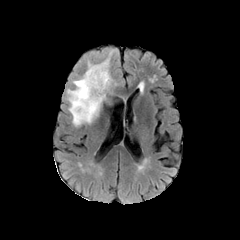
FLAIR MR.
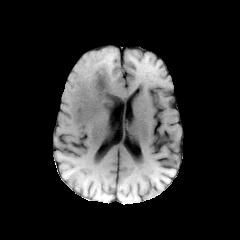
T1-weighted MRI of the same slice.
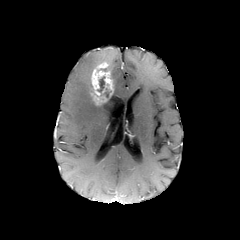
Same slice, post-contrast T1-weighted MRI.
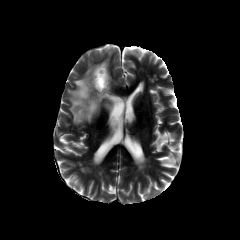
T2-weighted MR of the same slice.
Axial slice
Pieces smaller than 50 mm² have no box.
enhancing_tumor:
  - x1=91 y1=62 x2=113 y2=105
necrotic_tumor_core:
  - x1=98 y1=77 x2=104 y2=91
peritumoral_edema:
  - x1=67 y1=57 x2=109 y2=126